Slice index 105. Image width 240 mm. Head.
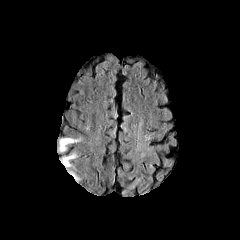
FLAIR magnetic resonance.
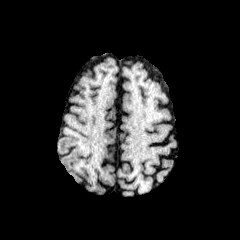
Same slice, T1-weighted MR image.
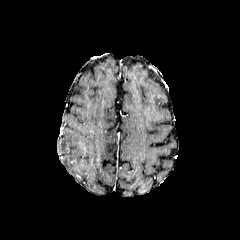
Post-contrast T1-weighted MRI.
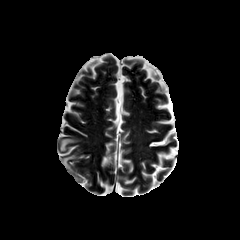
Same slice, T2-weighted MR image.
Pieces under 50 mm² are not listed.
peritumoral edema = x1=59 y1=138 x2=79 y2=151, x1=61 y1=154 x2=76 y2=167